FLAIR magnetic resonance.
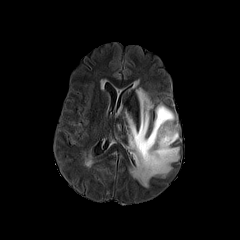
T1-weighted MR.
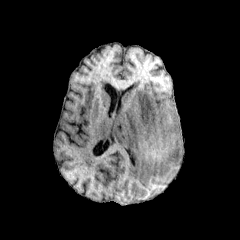
Post-contrast T1-weighted MRI.
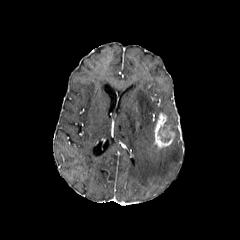
T2-weighted MRI.
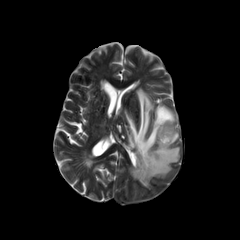
Brain | Axial plane
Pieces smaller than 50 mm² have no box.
Findings:
* enhancing tumor: box(154, 113, 174, 148)
* peritumoral edema: box(125, 88, 179, 187)
* necrotic tumor core: box(158, 122, 170, 142)